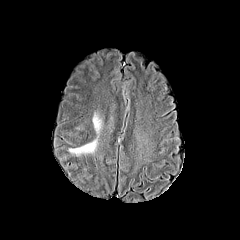
FLAIR MRI.
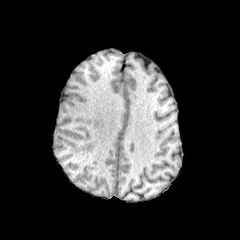
T1-weighted MR image of the same slice.
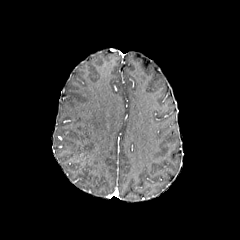
Post-contrast T1-weighted magnetic resonance of the same slice.
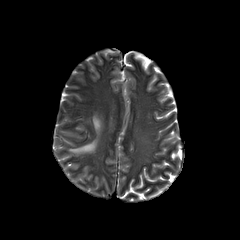
Same slice, T2-weighted MR.
<segmentation>
  <peritumoral_edema>bbox=[93, 114, 101, 132]; bbox=[69, 139, 97, 155]</peritumoral_edema>
</segmentation>